FLAIR MR.
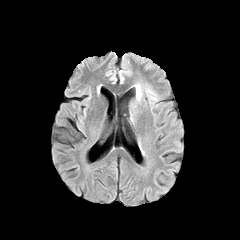
T1-weighted MR.
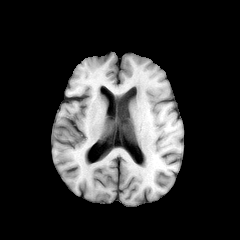
Post-contrast T1-weighted magnetic resonance.
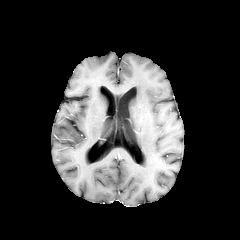
T2-weighted magnetic resonance.
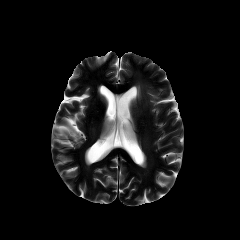
Image size 240x240. Axial plane. Brain.
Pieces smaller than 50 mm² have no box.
The largest peritumoral edema region lies within x1=136 y1=84 x2=141 y2=99.